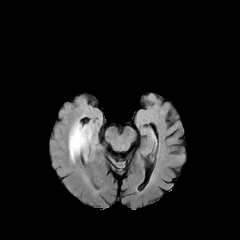
FLAIR MR image.
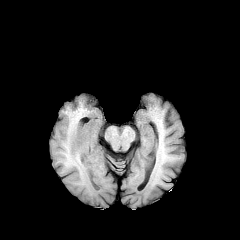
Same slice, T1-weighted MRI.
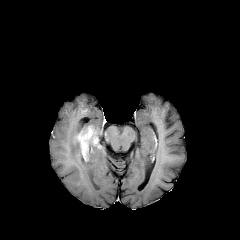
Same slice, post-contrast T1-weighted MRI.
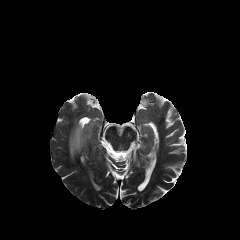
T2-weighted MR of the same slice.
240x240, Head, Axial plane
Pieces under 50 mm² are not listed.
peritumoral_edema:
  - l=69, t=121, r=97, b=160
enhancing_tumor:
  - l=77, t=126, r=93, b=141